FLAIR MR.
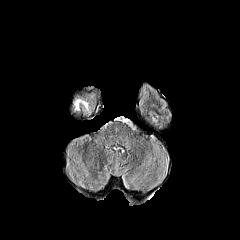
T1-weighted MRI.
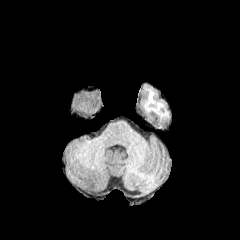
Post-contrast T1-weighted magnetic resonance.
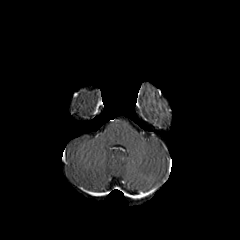
T2-weighted MR.
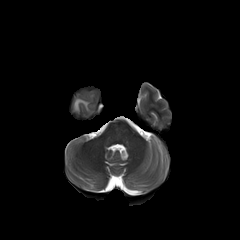
Head
peritumoral edema at <box>74,99,88,110</box>